Axial plane. Slice 111 of 155. Image covers 240 mm x 240 mm. Brain.
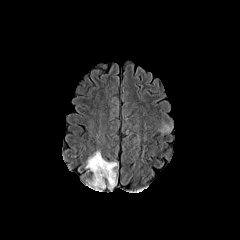
FLAIR MRI.
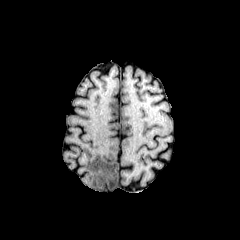
Same slice, T1-weighted magnetic resonance.
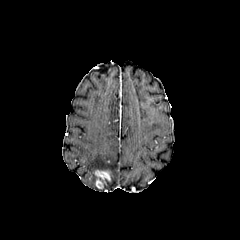
Same slice, post-contrast T1-weighted MR.
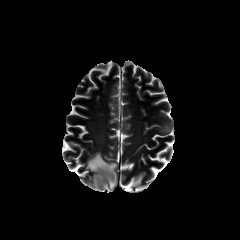
T2-weighted MRI.
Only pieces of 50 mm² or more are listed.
peritumoral edema: <box>85,151,117,191</box>
enhancing tumor: <box>94,169,111,188</box>